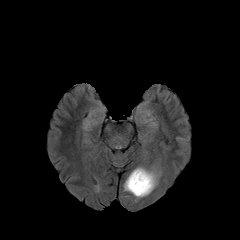
FLAIR magnetic resonance.
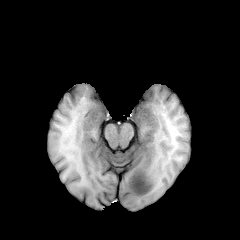
Same slice, T1-weighted MR.
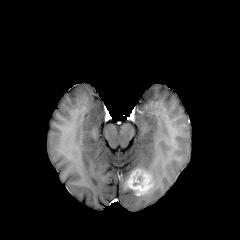
Post-contrast T1-weighted MR.
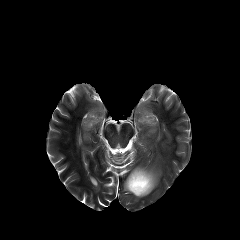
T2-weighted MRI of the same slice.
240x240. Axial slice.
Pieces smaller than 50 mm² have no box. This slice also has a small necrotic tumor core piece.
The enhancing tumor is located at 126 169 153 195. The largest peritumoral edema region appears at 123 166 160 198.